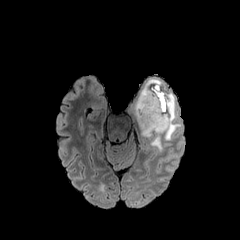
FLAIR MR image.
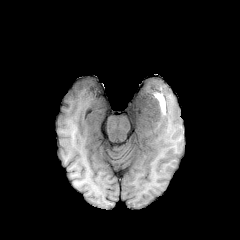
T1-weighted MRI of the same slice.
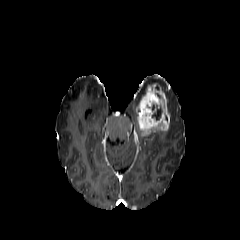
Post-contrast T1-weighted MR of the same slice.
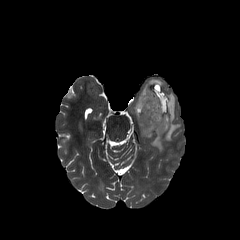
T2-weighted MRI of the same slice.
240x240 px
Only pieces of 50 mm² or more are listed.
2 peritumoral edema regions appear at {"x1": 148, "y1": 92, "x2": 181, "y2": 152}, {"x1": 133, "y1": 78, "x2": 163, "y2": 110}. The largest necrotic tumor core region is at {"x1": 152, "y1": 101, "x2": 164, "y2": 120}. The enhancing tumor is bounded by {"x1": 134, "y1": 81, "x2": 169, "y2": 138}.